FLAIR MRI.
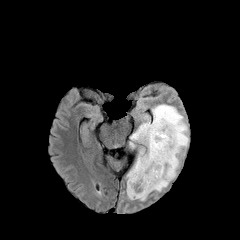
T1-weighted MRI.
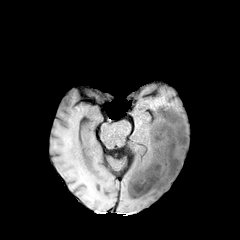
Post-contrast T1-weighted magnetic resonance.
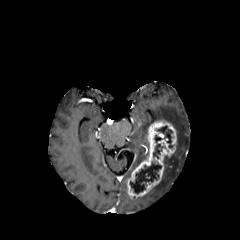
T2-weighted MRI.
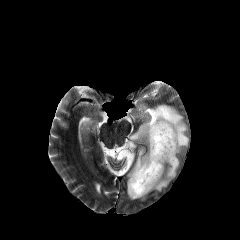
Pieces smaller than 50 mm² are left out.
necrotic tumor core: bounding box 158, 126, 172, 147; 153, 144, 162, 158; 130, 162, 161, 193
peritumoral edema: bounding box 129, 104, 188, 200; 126, 147, 147, 179
enhancing tumor: bounding box 127, 120, 177, 198